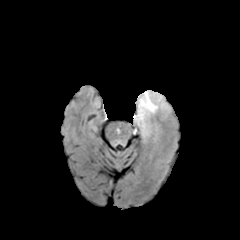
FLAIR MRI.
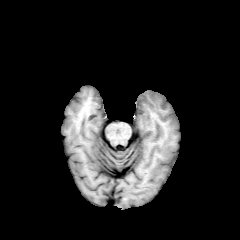
T1-weighted MR image.
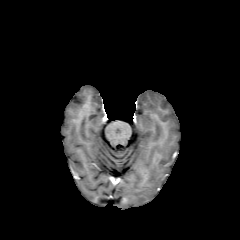
Same slice, post-contrast T1-weighted MR.
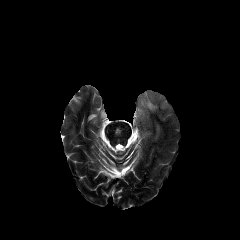
T2-weighted MR.
240x240 px.
peritumoral edema: 135:90:170:134